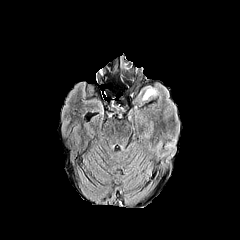
FLAIR MR image.
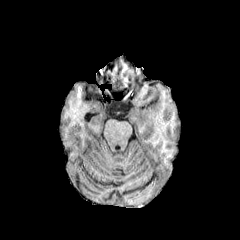
T1-weighted MR.
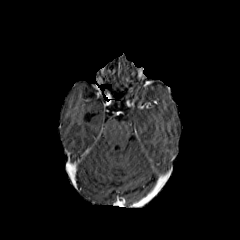
Post-contrast T1-weighted MR.
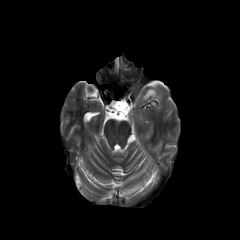
T2-weighted magnetic resonance of the same slice.
Image size 240x240
<segmentation>
  <peritumoral_edema>rect(142, 86, 156, 100)</peritumoral_edema>
</segmentation>